Axial view | 240x240 | Image width 240 mm | Slice 94/155 | Brain
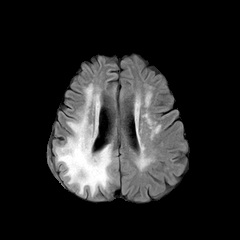
FLAIR MRI.
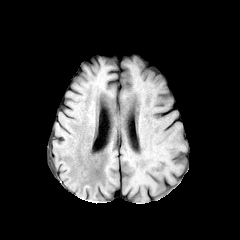
T1-weighted MR image.
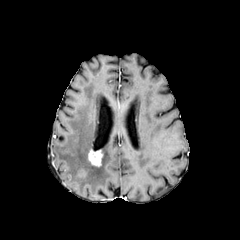
Post-contrast T1-weighted MR of the same slice.
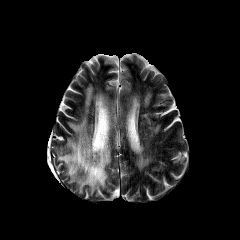
Same slice, T2-weighted MRI.
enhancing tumor — (x1=88, y1=148, x2=103, y2=166)
peritumoral edema — (x1=55, y1=84, x2=112, y2=194)